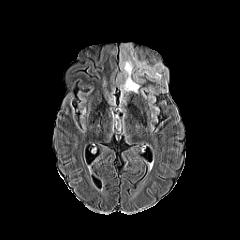
FLAIR MR.
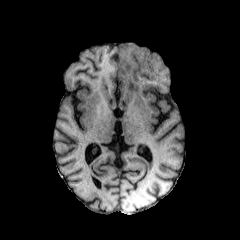
T1-weighted MR of the same slice.
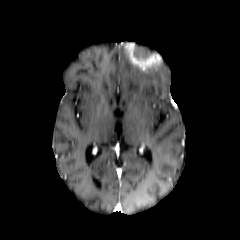
Post-contrast T1-weighted MRI.
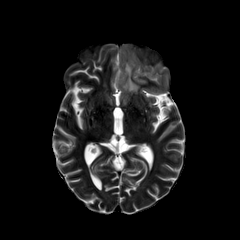
T2-weighted MR.
Brain. Axial plane.
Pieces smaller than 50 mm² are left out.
<segmentation>
  <enhancing_tumor>{"x1": 124, "y1": 43, "x2": 160, "y2": 71}</enhancing_tumor>
  <peritumoral_edema>{"x1": 120, "y1": 48, "x2": 164, "y2": 92}</peritumoral_edema>
</segmentation>